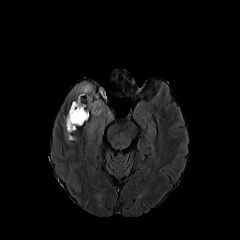
FLAIR magnetic resonance.
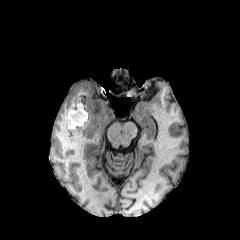
T1-weighted magnetic resonance.
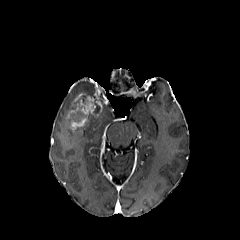
Post-contrast T1-weighted MRI.
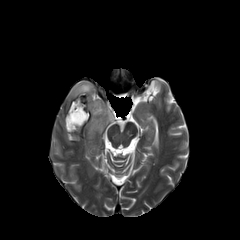
T2-weighted MR image.
Axial slice. 240x240.
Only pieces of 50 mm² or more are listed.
Annotated regions:
* peritumoral edema: box(71, 82, 96, 100); box(89, 98, 112, 132); box(64, 116, 76, 141)
* necrotic tumor core: box(69, 96, 90, 124)
* enhancing tumor: box(67, 93, 102, 131)